Axial plane, Brain
FLAIR MR image.
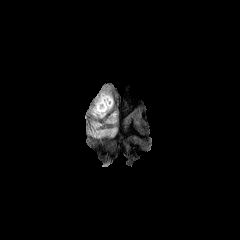
T1-weighted MRI.
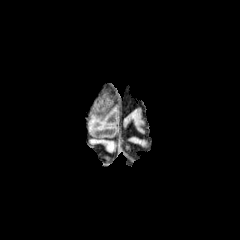
Post-contrast T1-weighted MR.
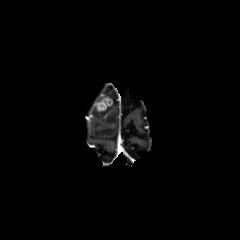
T2-weighted MR image.
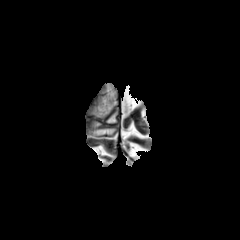
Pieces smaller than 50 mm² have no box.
Annotated regions:
- enhancing tumor: 96, 94, 112, 111
- peritumoral edema: 91, 101, 113, 118; 106, 111, 117, 123; 90, 120, 117, 138